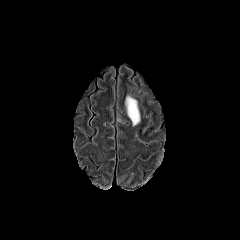
FLAIR magnetic resonance.
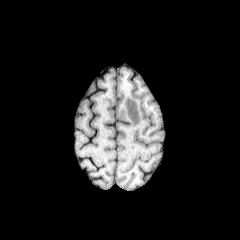
T1-weighted MR image.
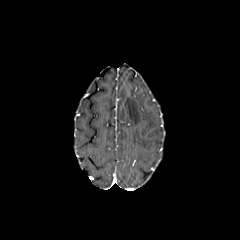
Post-contrast T1-weighted MR image.
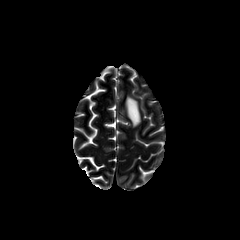
T2-weighted MRI.
240x240, Axial slice
Findings:
* peritumoral edema: {"x1": 125, "y1": 96, "x2": 140, "y2": 126}